FLAIR MRI.
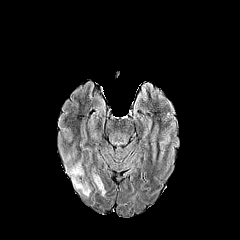
T1-weighted MR image.
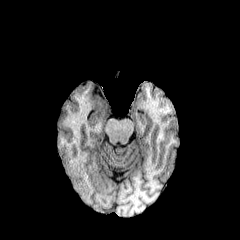
Post-contrast T1-weighted MR.
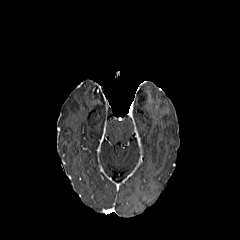
T2-weighted MR.
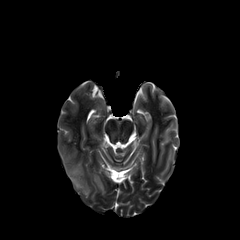
240x240, Brain, Axial view
peritumoral edema: region(70, 164, 90, 196); region(94, 175, 105, 195)